240x240; Slice 47 of 155; Axial view
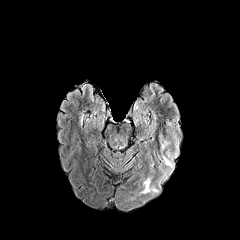
FLAIR MR image.
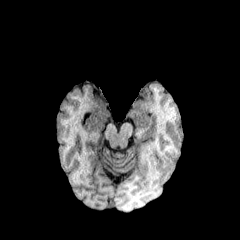
T1-weighted MRI.
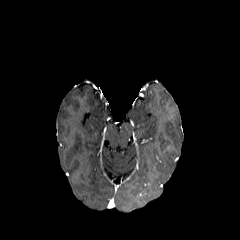
Post-contrast T1-weighted MRI.
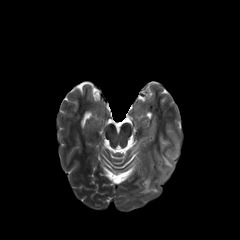
T2-weighted MR image.
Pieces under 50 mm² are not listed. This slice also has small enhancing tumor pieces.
peritumoral edema: (163,152,173,169), (141,178,158,193)